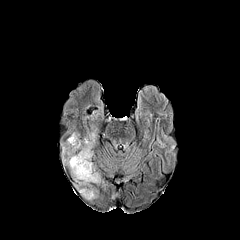
FLAIR MR.
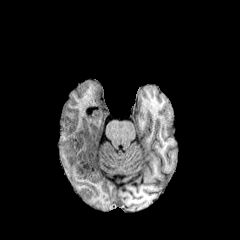
Same slice, T1-weighted MR.
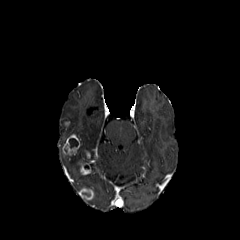
Post-contrast T1-weighted magnetic resonance of the same slice.
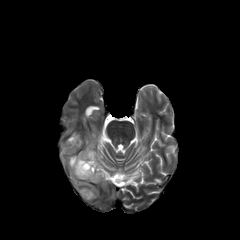
T2-weighted MR image of the same slice.
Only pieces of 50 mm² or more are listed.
{"enhancing_tumor": ["62:134:80:154", "79:187:94:200", "79:161:91:174"], "peritumoral_edema": ["69:139:100:183"], "necrotic_tumor_core": ["69:138:78:148"]}